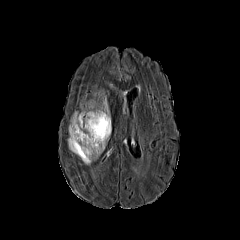
FLAIR magnetic resonance.
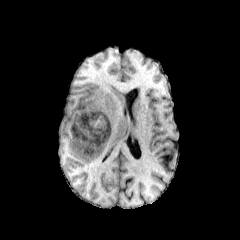
T1-weighted MR image.
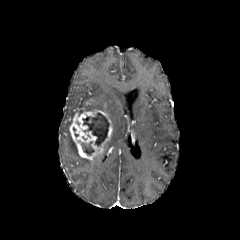
Post-contrast T1-weighted MR.
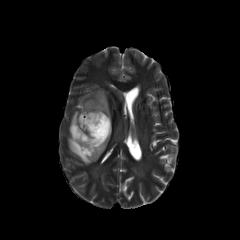
Same slice, T2-weighted magnetic resonance.
Brain
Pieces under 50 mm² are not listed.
The largest enhancing tumor region lies within 69, 109, 112, 160. The 2 largest peritumoral edema regions are bounded by 68, 134, 91, 164; 98, 92, 110, 118. The 2 largest necrotic tumor core regions are located at 83, 113, 109, 145; 82, 144, 94, 154.